Axial view, Head
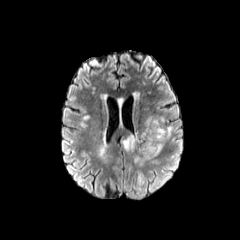
FLAIR MR image.
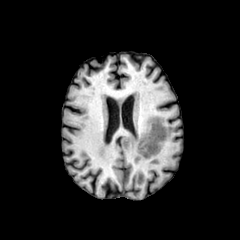
T1-weighted MR of the same slice.
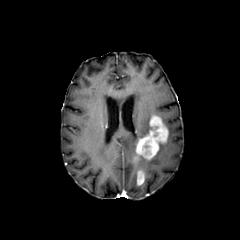
Same slice, post-contrast T1-weighted MRI.
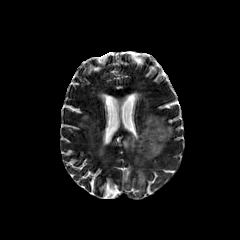
T2-weighted MR image.
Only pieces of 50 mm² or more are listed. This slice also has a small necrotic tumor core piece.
peritumoral edema — 122:117:152:152, 167:126:173:138
enhancing tumor — 137:170:144:185, 134:115:168:160